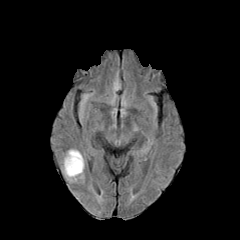
FLAIR MR image.
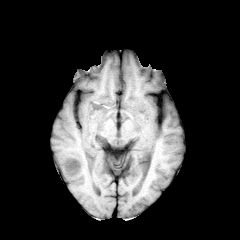
T1-weighted MR.
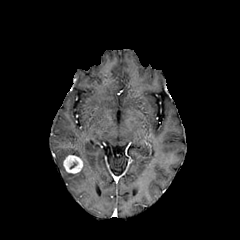
Post-contrast T1-weighted MR.
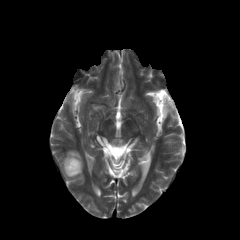
T2-weighted MR of the same slice.
Image size 240x240; Axial slice
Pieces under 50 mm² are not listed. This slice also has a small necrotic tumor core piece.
The peritumoral edema is at [61,149,84,182]. The enhancing tumor lies within [63,155,82,173].